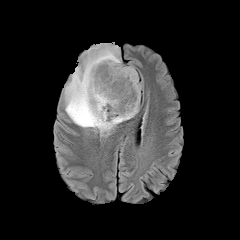
FLAIR MRI.
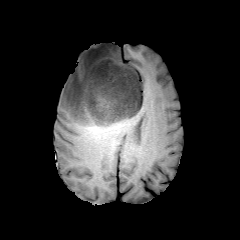
T1-weighted MRI.
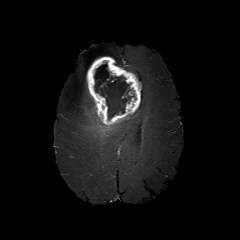
Post-contrast T1-weighted MR image.
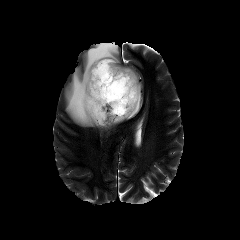
T2-weighted MR image.
240x240
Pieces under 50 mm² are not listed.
The largest enhancing tumor region is bounded by (x1=86, y1=56, x2=141, y2=127). The largest necrotic tumor core region is located at (x1=94, y1=63, x2=131, y2=118). 2 peritumoral edema regions are bounded by (x1=64, y1=43, x2=138, y2=132), (x1=123, y1=67, x2=137, y2=76).